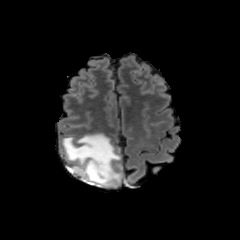
FLAIR magnetic resonance.
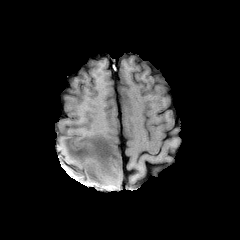
T1-weighted MR image.
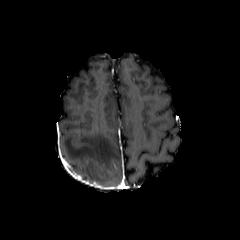
Post-contrast T1-weighted magnetic resonance.
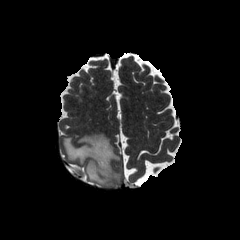
T2-weighted MRI of the same slice.
240x240. Head.
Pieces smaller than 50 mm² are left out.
The largest peritumoral edema region lies within 62, 133, 123, 186.